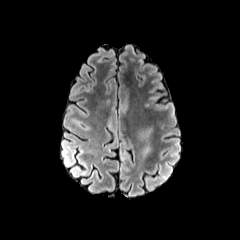
FLAIR MR.
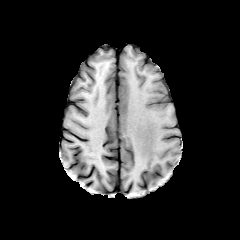
T1-weighted MR.
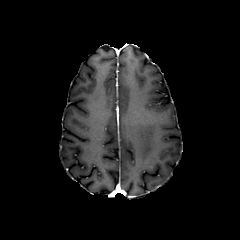
Post-contrast T1-weighted MR image.
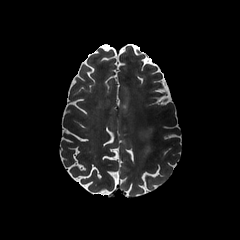
T2-weighted MR.
Brain. Axial view.
peritumoral edema — {"x1": 142, "y1": 146, "x2": 150, "y2": 158}, {"x1": 138, "y1": 127, "x2": 152, "y2": 140}